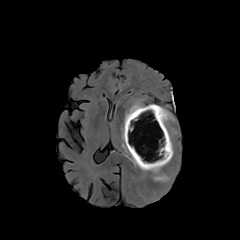
FLAIR magnetic resonance.
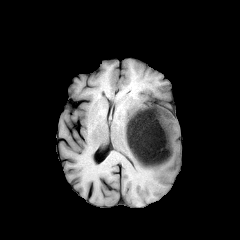
Same slice, T1-weighted magnetic resonance.
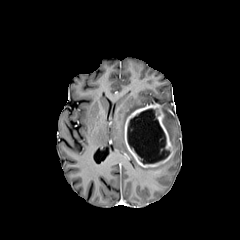
Post-contrast T1-weighted MR image.
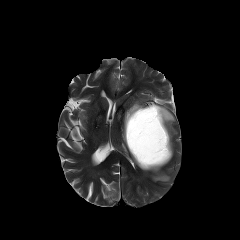
T2-weighted MRI.
Brain.
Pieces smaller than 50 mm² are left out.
peritumoral edema — (x1=161, y1=106, x2=175, y2=145), (x1=122, y1=101, x2=170, y2=181)
enhancing tumor — (x1=124, y1=104, x2=173, y2=167)
necrotic tumor core — (x1=127, y1=108, x2=170, y2=164)